FLAIR MRI.
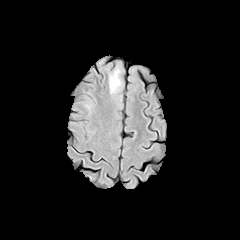
T1-weighted magnetic resonance.
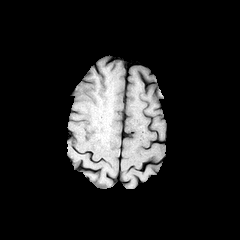
Post-contrast T1-weighted MRI.
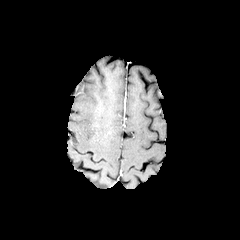
T2-weighted MRI.
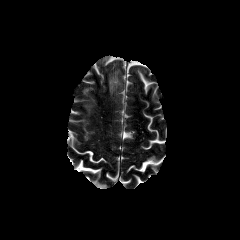
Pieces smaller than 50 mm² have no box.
The largest peritumoral edema region lies within (109,69,121,93).